Slice index 68; Axial slice
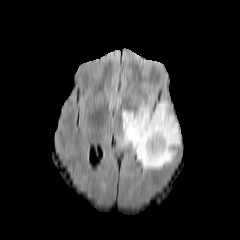
FLAIR MR image.
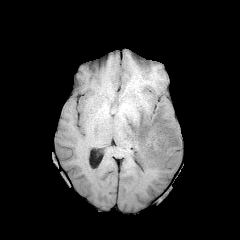
Same slice, T1-weighted MRI.
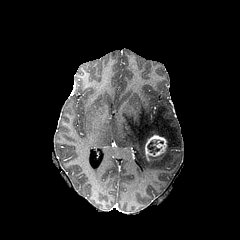
Post-contrast T1-weighted magnetic resonance.
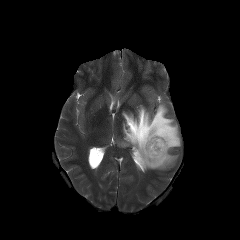
T2-weighted magnetic resonance.
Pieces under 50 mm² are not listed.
peritumoral edema: bounding box bbox=[119, 100, 180, 169]
enhancing tumor: bounding box bbox=[144, 134, 167, 160]
necrotic tumor core: bounding box bbox=[147, 140, 160, 154]